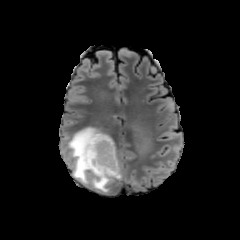
FLAIR MRI.
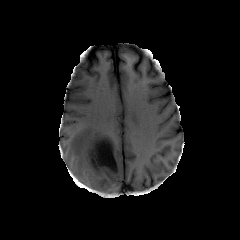
T1-weighted magnetic resonance.
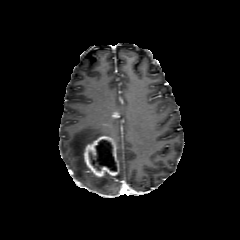
Post-contrast T1-weighted MR.
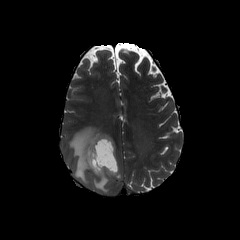
T2-weighted MRI.
240x240 | Head | Axial view
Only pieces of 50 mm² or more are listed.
The necrotic tumor core is located at box(91, 139, 117, 171). The largest peritumoral edema region lies within box(67, 127, 122, 193). The enhancing tumor lies within box(84, 135, 119, 177).